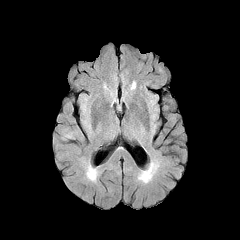
FLAIR magnetic resonance.
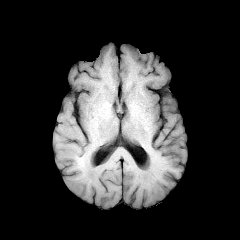
T1-weighted MR image of the same slice.
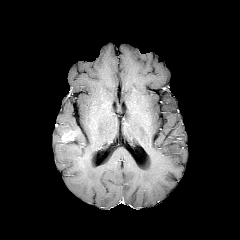
Post-contrast T1-weighted magnetic resonance of the same slice.
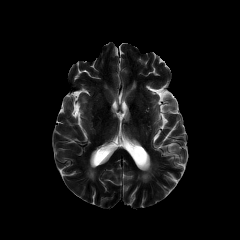
Same slice, T2-weighted MRI.
240x240 px | Head
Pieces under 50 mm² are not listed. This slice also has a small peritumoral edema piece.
The largest enhancing tumor region lies within bbox(62, 131, 73, 141).